Axial view. Image width 240 mm. Slice index 70.
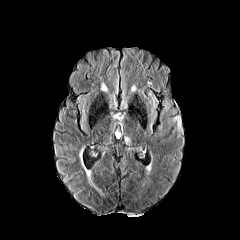
FLAIR MRI.
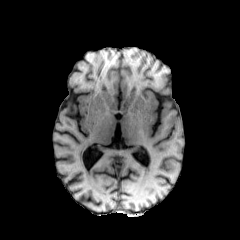
T1-weighted MR image.
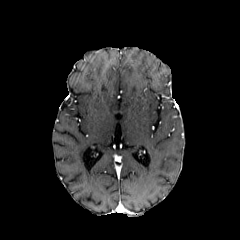
Post-contrast T1-weighted MR.
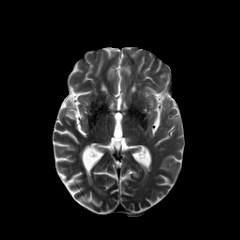
T2-weighted MRI.
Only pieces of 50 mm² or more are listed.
{"peritumoral_edema": ["bbox(172, 117, 181, 131)"]}